Image size 240x240; Image width 240 mm
FLAIR MRI.
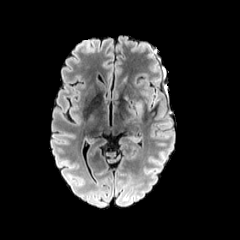
T1-weighted MRI.
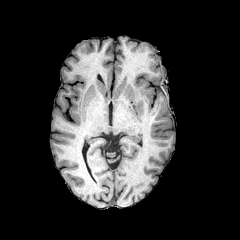
Post-contrast T1-weighted MR.
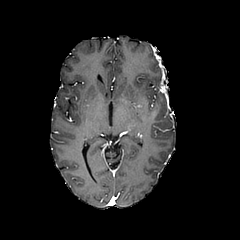
T2-weighted MR.
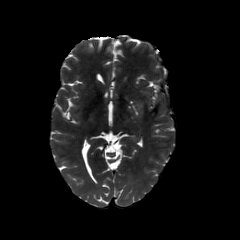
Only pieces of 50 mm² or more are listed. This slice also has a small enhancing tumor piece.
peritumoral_edema:
  - [123,96,143,118]